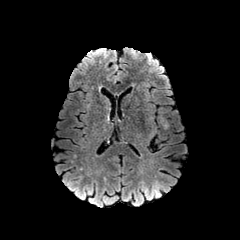
FLAIR MRI.
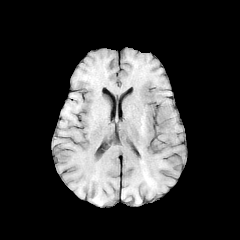
Same slice, T1-weighted MR.
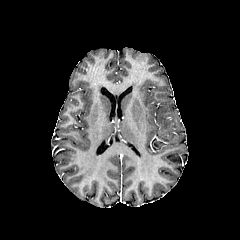
Same slice, post-contrast T1-weighted MR image.
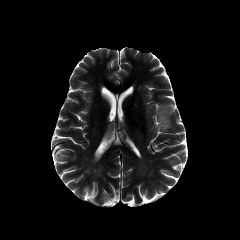
Same slice, T2-weighted magnetic resonance.
Annotated regions:
• peritumoral edema: (159,112,168,129)